240x240; Slice index 40; Head; Axial view
FLAIR MR image.
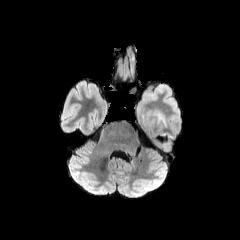
T1-weighted MRI.
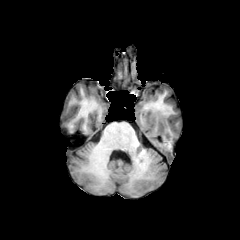
Post-contrast T1-weighted MR image.
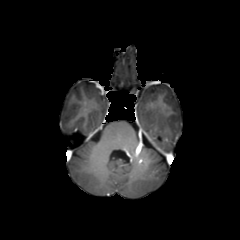
T2-weighted MRI.
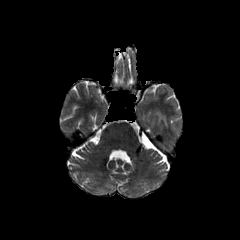
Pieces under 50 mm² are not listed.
peritumoral_edema:
  - (left=155, top=109, right=166, bottom=125)